FLAIR MRI.
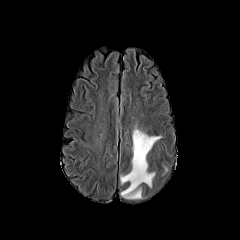
T1-weighted MRI.
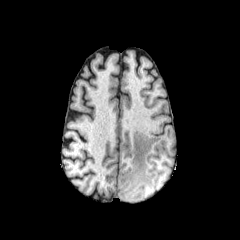
Post-contrast T1-weighted MR.
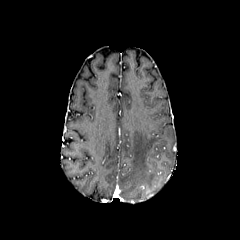
T2-weighted MRI.
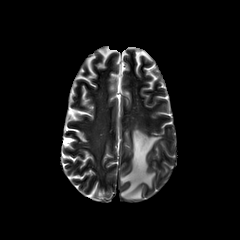
Image size 240x240
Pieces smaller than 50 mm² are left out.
* peritumoral edema: [120,127,161,199]